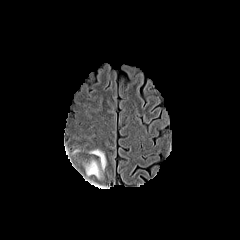
FLAIR MR image.
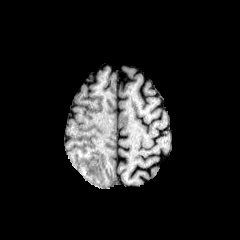
Same slice, T1-weighted MRI.
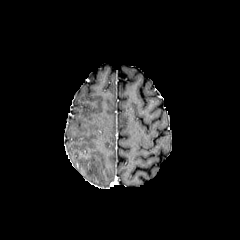
Post-contrast T1-weighted MR image.
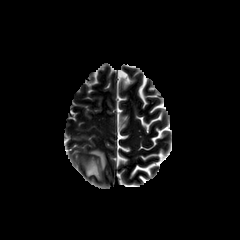
T2-weighted magnetic resonance.
Brain, Axial view
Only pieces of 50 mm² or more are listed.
peritumoral edema: [86,160,100,178], [90,150,105,169]